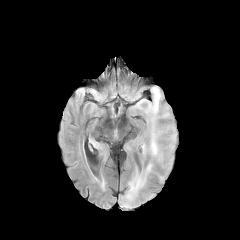
FLAIR MR.
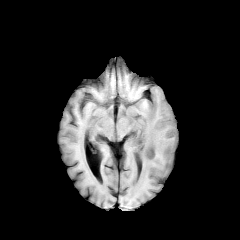
T1-weighted magnetic resonance of the same slice.
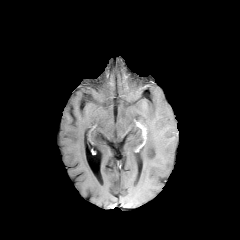
Post-contrast T1-weighted MRI.
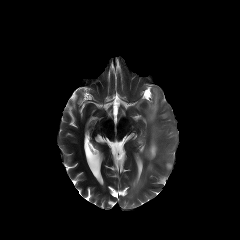
T2-weighted MR.
Head. Image size 240x240.
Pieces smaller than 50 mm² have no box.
The 3 largest peritumoral edema regions are bounded by (left=130, top=177, right=143, bottom=190), (left=149, top=125, right=158, bottom=156), (left=150, top=106, right=157, bottom=123).